Axial slice, Brain
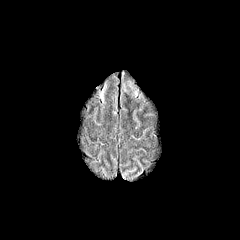
FLAIR MRI.
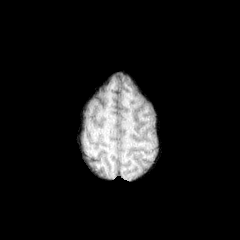
T1-weighted MR.
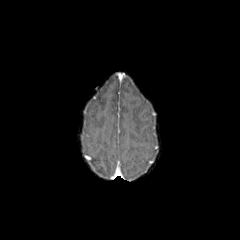
Post-contrast T1-weighted MR image.
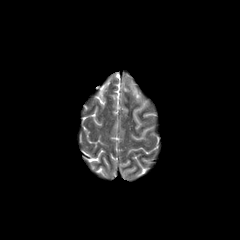
T2-weighted MR.
peritumoral edema: [127,80,138,96]